Brain. Slice 99/155. Axial plane.
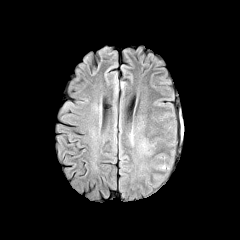
FLAIR MR image.
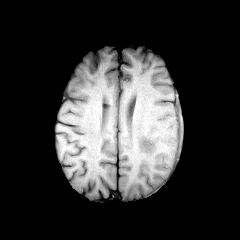
T1-weighted magnetic resonance.
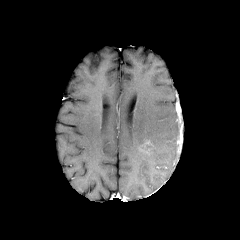
Post-contrast T1-weighted MR.
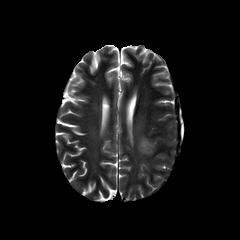
T2-weighted magnetic resonance.
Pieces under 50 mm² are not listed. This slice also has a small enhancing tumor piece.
peritumoral edema: 156, 164, 171, 171; 130, 133, 133, 147; 139, 139, 154, 153